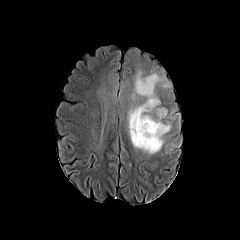
FLAIR MR.
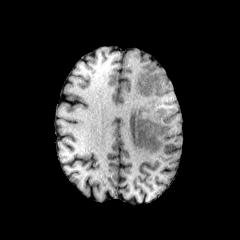
Same slice, T1-weighted MR image.
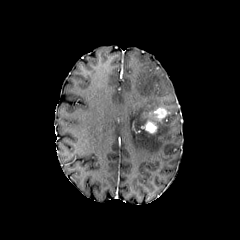
Post-contrast T1-weighted MRI.
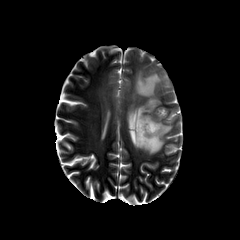
T2-weighted MR.
Brain; 240x240 px
enhancing tumor — box(142, 108, 167, 133)
peritumoral edema — box(128, 71, 171, 154)